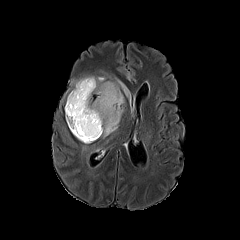
FLAIR magnetic resonance.
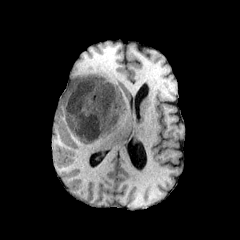
Same slice, T1-weighted MRI.
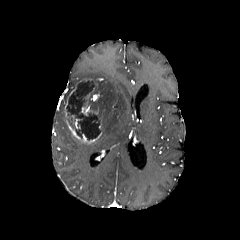
Post-contrast T1-weighted MR image of the same slice.
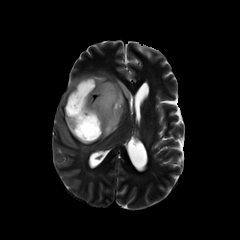
Same slice, T2-weighted MRI.
Brain
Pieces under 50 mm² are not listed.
peritumoral_edema:
  - left=70, top=76, right=130, bottom=138
enhancing_tumor:
  - left=64, top=87, right=102, bottom=143
  - left=81, top=88, right=98, bottom=115
necrotic_tumor_core:
  - left=66, top=79, right=101, bottom=140